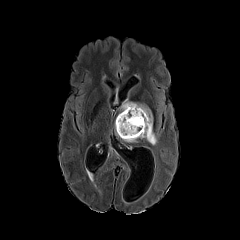
FLAIR MR.
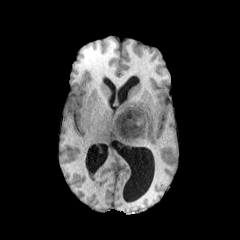
T1-weighted MRI.
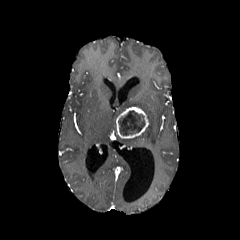
Same slice, post-contrast T1-weighted magnetic resonance.
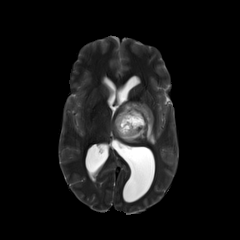
T2-weighted MRI.
Head, Image size 240x240, Axial view
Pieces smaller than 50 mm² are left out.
peritumoral edema: <box>121,102,156,145</box>
necrotic tumor core: <box>118,110,144,135</box>
enhancing tumor: <box>116,107,148,138</box>